FLAIR MR.
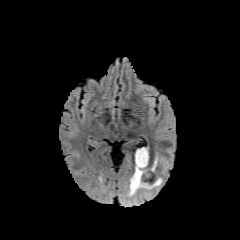
T1-weighted magnetic resonance.
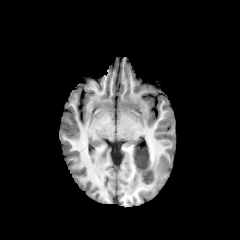
Post-contrast T1-weighted MR image.
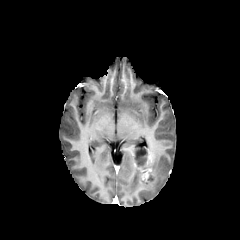
T2-weighted magnetic resonance.
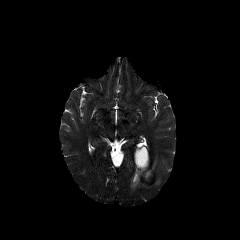
Brain
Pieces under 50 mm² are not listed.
The 2 largest enhancing tumor regions are located at (134,154,151,179), (146,149,150,166). The necrotic tumor core is bounded by (135,148,147,169). The largest peritumoral edema region is at (128,167,150,195).